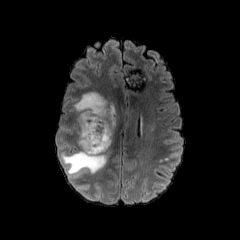
FLAIR magnetic resonance.
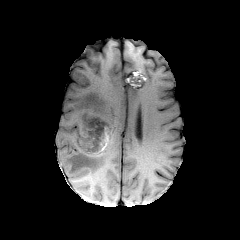
T1-weighted MRI.
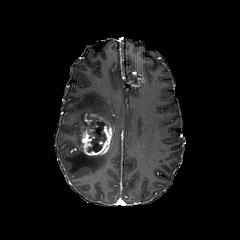
Post-contrast T1-weighted MRI.
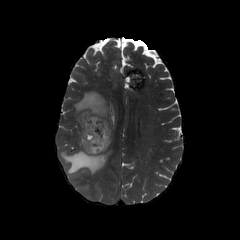
T2-weighted MRI of the same slice.
Brain
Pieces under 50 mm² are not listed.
<segmentation>
  <enhancing_tumor>rect(81, 114, 112, 155)</enhancing_tumor>
  <necrotic_tumor_core>rect(85, 117, 106, 152)</necrotic_tumor_core>
  <peritumoral_edema>rect(60, 147, 110, 175); rect(74, 91, 117, 146)</peritumoral_edema>
</segmentation>